Axial slice | Brain | Slice index 103
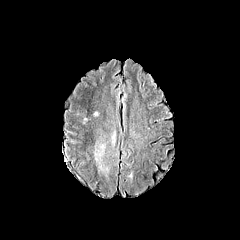
FLAIR magnetic resonance.
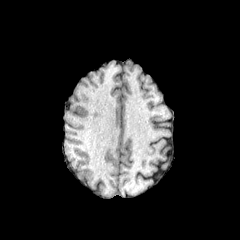
T1-weighted MR image of the same slice.
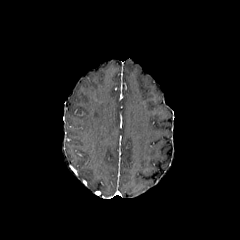
Post-contrast T1-weighted MRI.
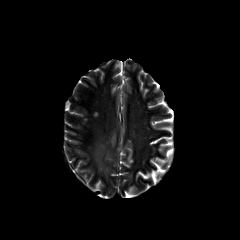
T2-weighted MR image.
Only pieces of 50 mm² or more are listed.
Findings:
• peritumoral edema: bbox(95, 144, 108, 171)